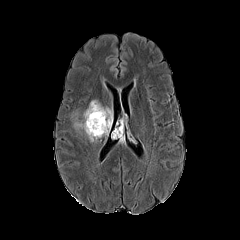
FLAIR MRI.
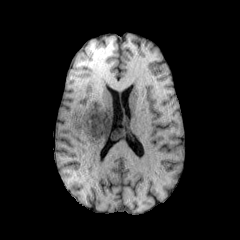
Same slice, T1-weighted magnetic resonance.
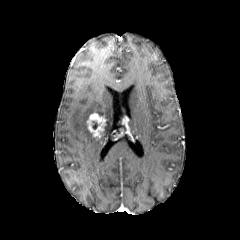
Same slice, post-contrast T1-weighted MR.
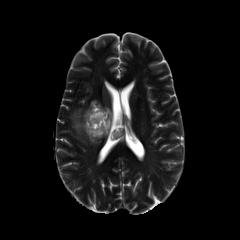
T2-weighted MR image.
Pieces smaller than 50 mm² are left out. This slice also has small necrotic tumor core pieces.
{
  "enhancing_tumor": [
    {"x1": 87, "y1": 112, "x2": 106, "y2": 138},
    {"x1": 120, "y1": 116, "x2": 127, "y2": 126},
    {"x1": 112, "y1": 127, "x2": 125, "y2": 138}
  ],
  "peritumoral_edema": [
    {"x1": 72, "y1": 100, "x2": 112, "y2": 142}
  ]
}